Image width 240 mm, 1.00 mm slice spacing | Brain | Slice index 64 | Axial plane | 240x240
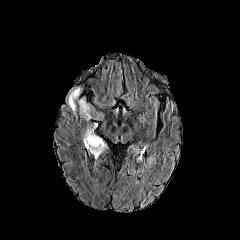
FLAIR MRI.
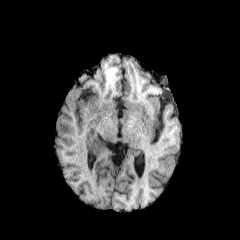
Same slice, T1-weighted magnetic resonance.
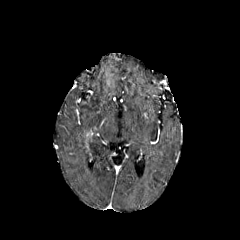
Same slice, post-contrast T1-weighted MR image.
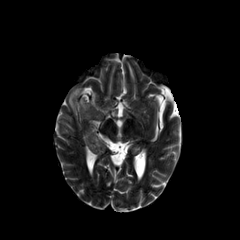
Same slice, T2-weighted magnetic resonance.
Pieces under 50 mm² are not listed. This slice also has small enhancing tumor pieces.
The peritumoral edema is bounded by [66,86,106,157].